FLAIR MRI.
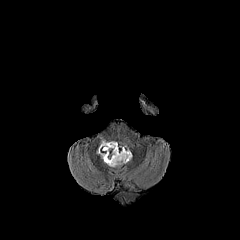
T1-weighted MRI.
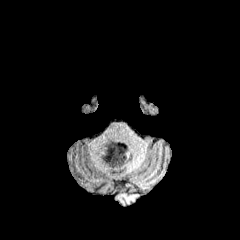
Post-contrast T1-weighted MR.
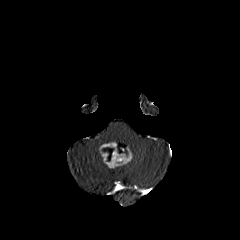
T2-weighted magnetic resonance.
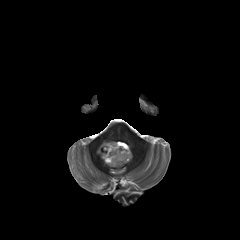
Brain; Image size 240x240
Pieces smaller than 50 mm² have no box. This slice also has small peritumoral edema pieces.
necrotic tumor core: <bbox>101, 147, 114, 161</bbox> | enhancing tumor: <bbox>99, 142, 132, 168</bbox>